FLAIR MRI.
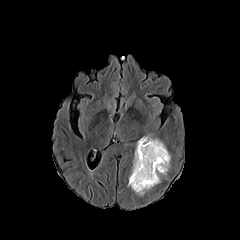
T1-weighted MRI.
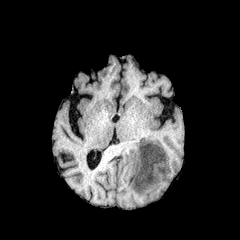
Post-contrast T1-weighted MR.
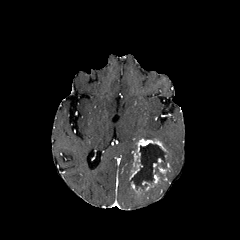
T2-weighted MR.
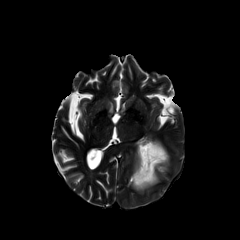
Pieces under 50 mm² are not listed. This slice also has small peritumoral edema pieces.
necrotic_tumor_core:
  - bbox(131, 143, 166, 192)
enhancing_tumor:
  - bbox(129, 138, 169, 193)